FLAIR MR.
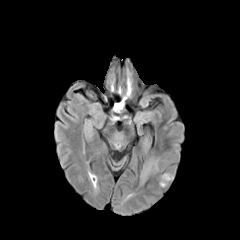
T1-weighted MR image.
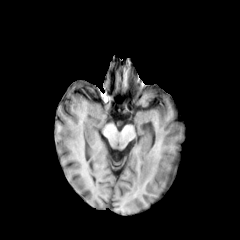
Post-contrast T1-weighted MR.
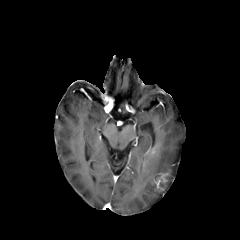
T2-weighted magnetic resonance.
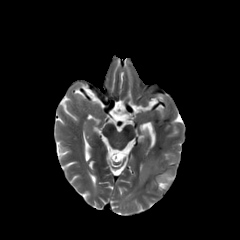
Brain.
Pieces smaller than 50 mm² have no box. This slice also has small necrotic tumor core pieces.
Findings:
- enhancing tumor: 153 171 173 193
- peritumoral edema: 140 157 161 182